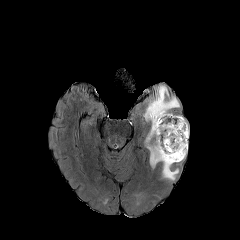
FLAIR magnetic resonance.
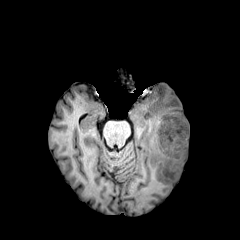
T1-weighted MR.
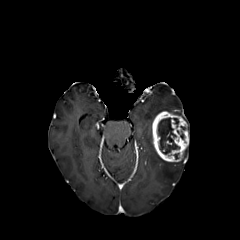
Same slice, post-contrast T1-weighted MR.
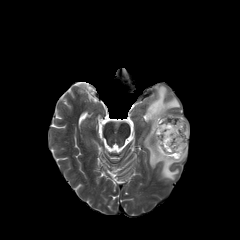
T2-weighted MRI.
Image size 240x240; Brain; Axial slice
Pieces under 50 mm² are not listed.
- peritumoral edema: box=[146, 127, 178, 180]; box=[145, 86, 179, 122]
- enhancing tumor: box=[152, 111, 189, 162]
- necrotic tumor core: box=[158, 118, 179, 154]